FLAIR MRI.
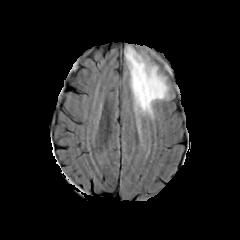
T1-weighted magnetic resonance.
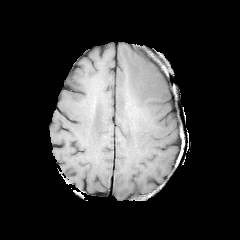
Post-contrast T1-weighted MR image.
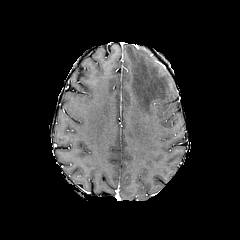
T2-weighted MRI.
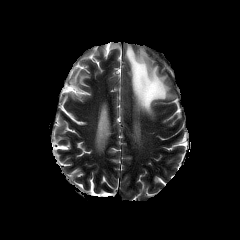
Head. Axial view.
Annotated regions:
- peritumoral edema: [125, 45, 169, 118]